Slice 72 of 155
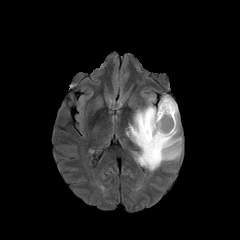
FLAIR MR.
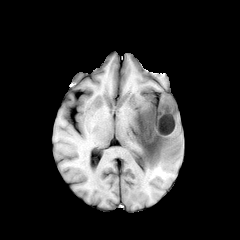
T1-weighted MR of the same slice.
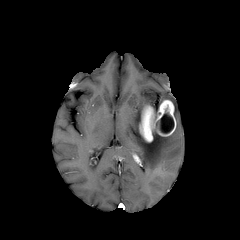
Post-contrast T1-weighted MR.
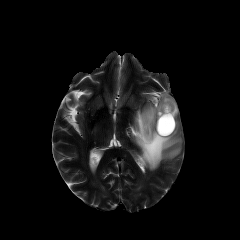
T2-weighted MR image.
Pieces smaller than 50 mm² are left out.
<segmentation>
  <peritumoral_edema>[126,94,182,170]</peritumoral_edema>
  <enhancing_tumor>[139,100,176,142]</enhancing_tumor>
  <necrotic_tumor_core>[156,113,174,133]</necrotic_tumor_core>
</segmentation>